Image width 240 mm, 1.00 mm slice spacing, Brain
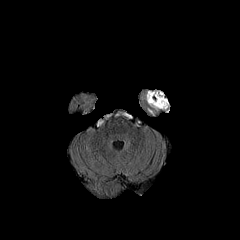
FLAIR MR.
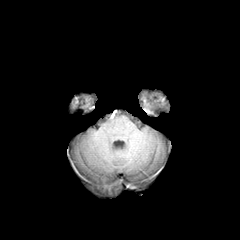
Same slice, T1-weighted MR.
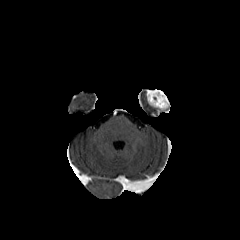
Post-contrast T1-weighted MR image.
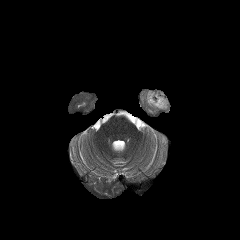
Same slice, T2-weighted MR.
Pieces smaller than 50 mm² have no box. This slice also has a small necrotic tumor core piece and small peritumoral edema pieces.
enhancing tumor at box=[146, 90, 169, 109]